FLAIR magnetic resonance.
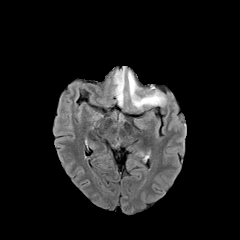
T1-weighted MR.
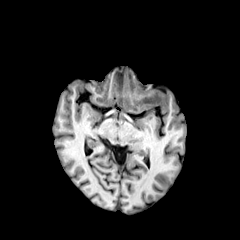
Post-contrast T1-weighted MRI.
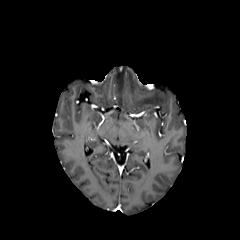
T2-weighted MRI.
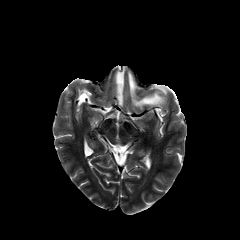
Brain
peritumoral edema — rect(114, 67, 125, 105); rect(128, 72, 166, 108)